Slice index 98, Axial slice, Head
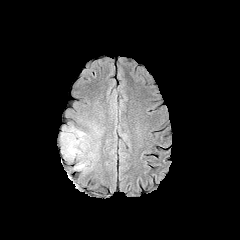
FLAIR MRI.
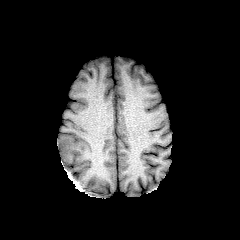
T1-weighted MR image.
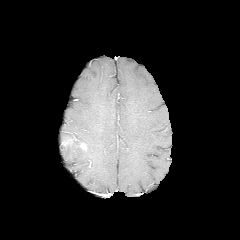
Post-contrast T1-weighted magnetic resonance of the same slice.
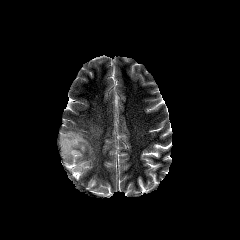
T2-weighted magnetic resonance.
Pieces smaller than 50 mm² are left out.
The peritumoral edema is located at x1=60 y1=125 x2=99 y2=173. The largest enhancing tumor region lies within x1=62 y1=137 x2=76 y2=146.